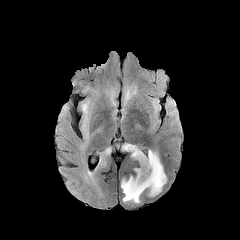
FLAIR magnetic resonance.
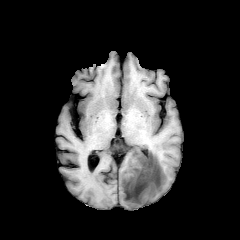
Same slice, T1-weighted MR.
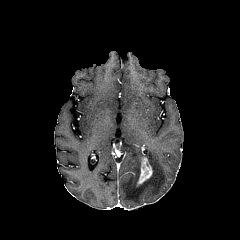
Post-contrast T1-weighted magnetic resonance of the same slice.
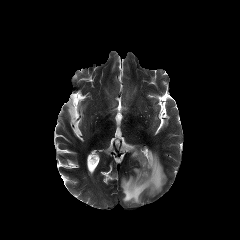
Same slice, T2-weighted MRI.
240x240
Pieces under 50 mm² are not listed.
{"peritumoral_edema": ["[x1=122, y1=144, x2=145, y2=164]", "[x1=82, y1=102, x2=87, y2=114]", "[x1=121, y1=150, x2=166, y2=203]"], "enhancing_tumor": ["[x1=137, y1=157, x2=152, y2=186]"]}